FLAIR magnetic resonance.
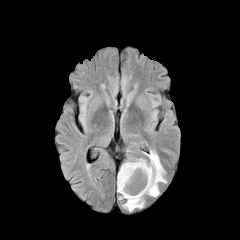
T1-weighted MRI.
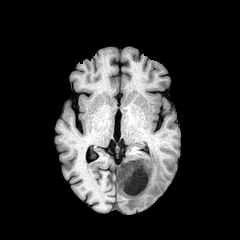
Post-contrast T1-weighted MR.
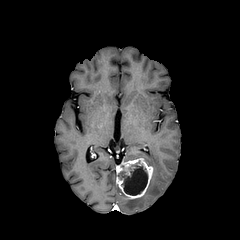
T2-weighted MR image.
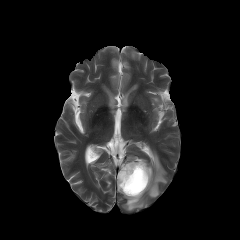
Axial plane, Brain, 240x240 px
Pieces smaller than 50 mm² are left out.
enhancing tumor: bounding box bbox(116, 158, 153, 199)
necrotic tumor core: bounding box bbox(118, 164, 147, 195)
peritumoral edema: bounding box bbox(145, 150, 166, 197); bbox(123, 196, 144, 211)